FLAIR magnetic resonance.
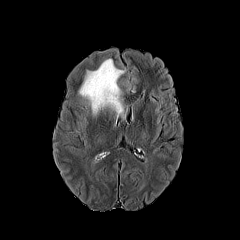
T1-weighted magnetic resonance.
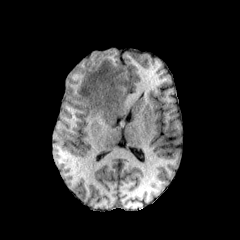
Post-contrast T1-weighted MR image.
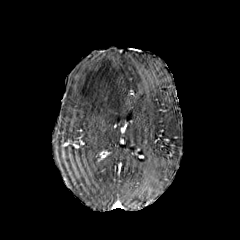
T2-weighted MRI.
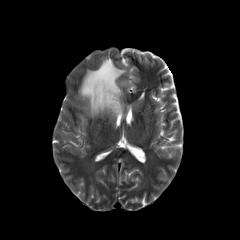
Head
* peritumoral edema: box(79, 59, 125, 117)